Brain | 240x240 px
FLAIR MR.
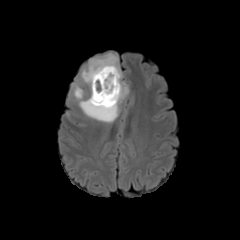
T1-weighted magnetic resonance.
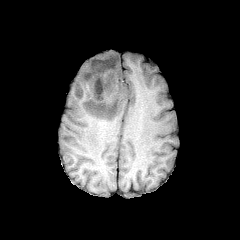
Post-contrast T1-weighted MR image.
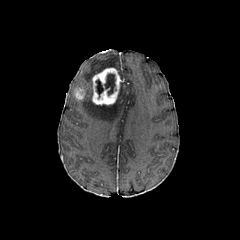
T2-weighted MRI.
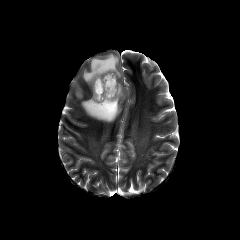
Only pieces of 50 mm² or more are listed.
peritumoral edema: x1=79, y1=53, x2=128, y2=122 | enhancing tumor: x1=92, y1=67, x2=120, y2=105; x1=74, y1=87, x2=84, y2=100 | necrotic tumor core: x1=96, y1=79, x2=103, y2=97; x1=104, y1=73, x2=115, y2=95